FLAIR magnetic resonance.
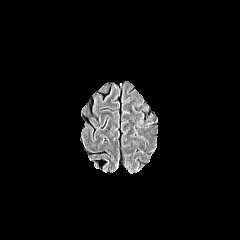
T1-weighted MR image.
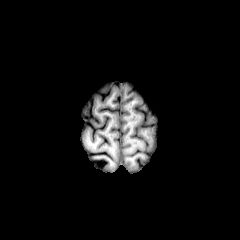
Post-contrast T1-weighted magnetic resonance.
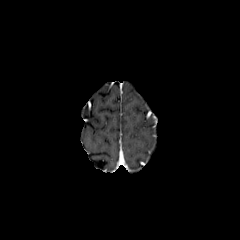
T2-weighted magnetic resonance.
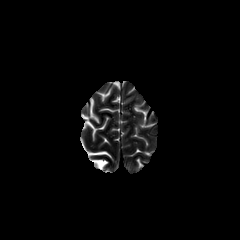
240x240 px
peritumoral edema: 136 116 150 129